FLAIR MR image.
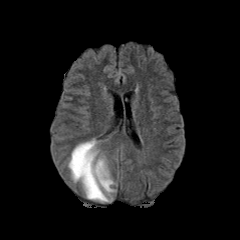
T1-weighted magnetic resonance.
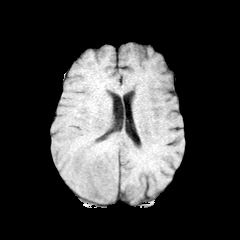
Post-contrast T1-weighted MR image.
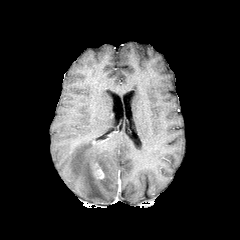
T2-weighted magnetic resonance.
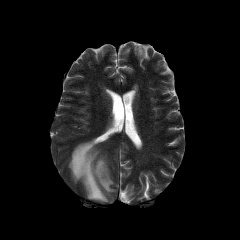
peritumoral edema = {"x1": 68, "y1": 138, "x2": 115, "y2": 202}
enhancing tumor = {"x1": 94, "y1": 164, "x2": 104, "y2": 178}